FLAIR magnetic resonance.
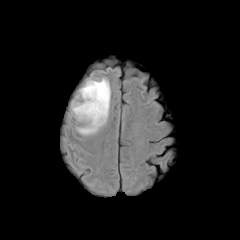
T1-weighted MRI.
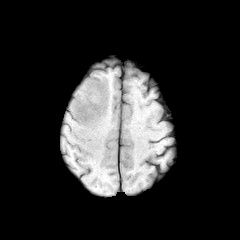
Post-contrast T1-weighted MR.
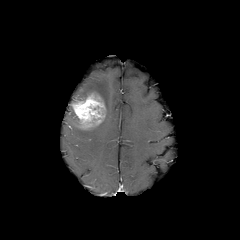
T2-weighted MR.
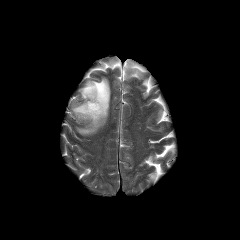
Head
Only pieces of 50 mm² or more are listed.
The enhancing tumor lies within <bbox>72, 93, 105, 128</bbox>. The largest peritumoral edema region appears at <bbox>72, 78, 110, 135</bbox>.